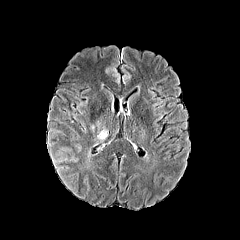
FLAIR MR image.
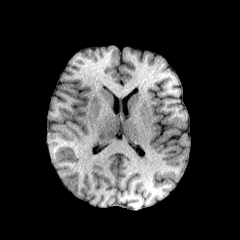
Same slice, T1-weighted MR image.
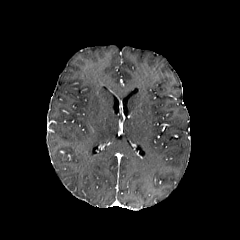
Post-contrast T1-weighted MR of the same slice.
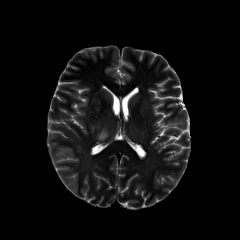
T2-weighted MR of the same slice.
Brain | Image size 240x240 | Axial view
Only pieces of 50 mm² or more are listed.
peritumoral edema = l=97, t=129, r=108, b=140